Head; Axial slice
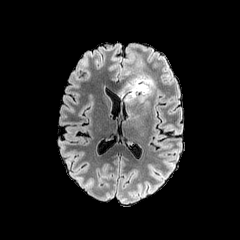
FLAIR magnetic resonance.
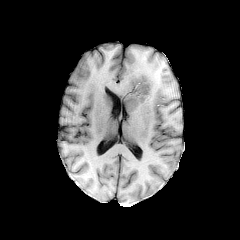
T1-weighted MR image.
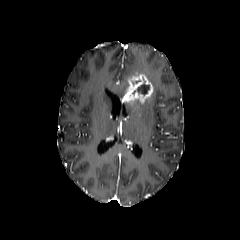
Post-contrast T1-weighted MRI.
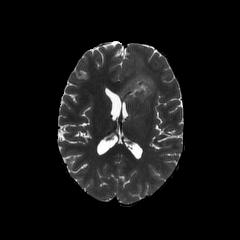
Same slice, T2-weighted magnetic resonance.
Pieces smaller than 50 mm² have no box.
enhancing_tumor:
  - 122, 73, 153, 105
necrotic_tumor_core:
  - 137, 84, 149, 94
peritumoral_edema:
  - 125, 52, 144, 76
  - 120, 80, 127, 98
  - 145, 74, 155, 91